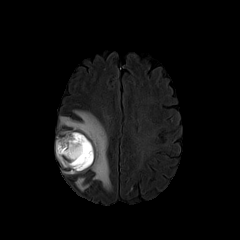
FLAIR magnetic resonance.
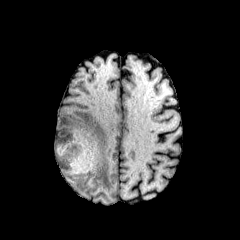
T1-weighted MRI.
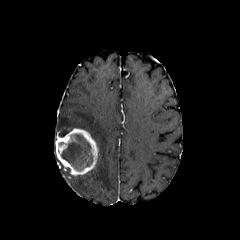
Post-contrast T1-weighted MR image.
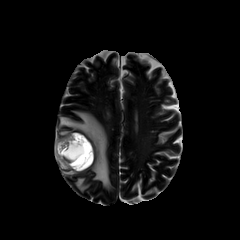
Same slice, T2-weighted MR image.
Brain
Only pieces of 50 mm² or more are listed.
The 2 largest peritumoral edema regions are bounded by <box>59,110,111,190</box>, <box>75,177,89,191</box>. The necrotic tumor core appears at <box>61,135,92,170</box>. The enhancing tumor appears at <box>55,128,98,175</box>.